FLAIR magnetic resonance.
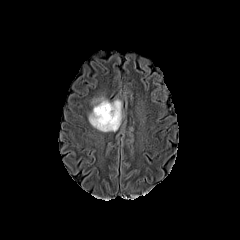
T1-weighted MR image.
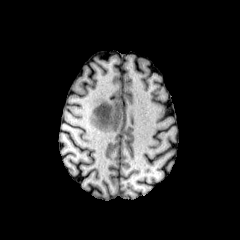
Post-contrast T1-weighted magnetic resonance.
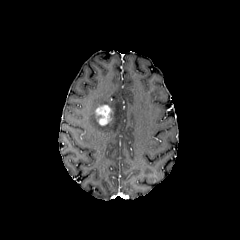
T2-weighted magnetic resonance.
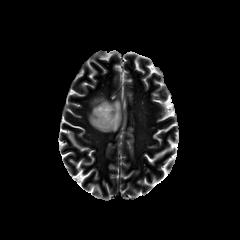
Axial view | Brain
The peritumoral edema is bounded by bbox=[88, 97, 122, 132]. The enhancing tumor lies within bbox=[95, 104, 112, 125].